FLAIR MR.
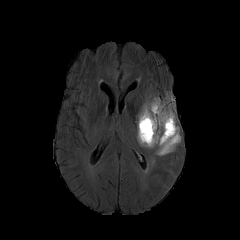
T1-weighted MR image.
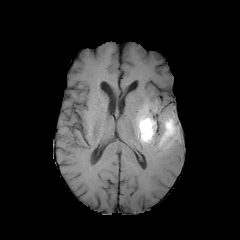
Post-contrast T1-weighted MR.
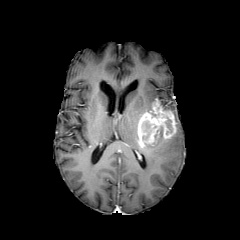
T2-weighted MRI.
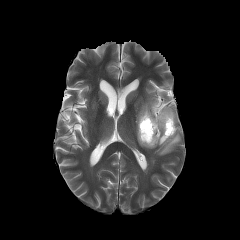
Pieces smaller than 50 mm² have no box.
Annotated regions:
* enhancing tumor: x1=137 y1=98 x2=176 y2=146
* peritumoral edema: x1=136 y1=97 x2=155 y2=127, x1=157 y1=94 x2=175 y2=120, x1=145 y1=125 x2=180 y2=155
* necrotic tumor core: x1=142 y1=121 x2=150 y2=139, x1=166 y1=119 x2=172 y2=134